FLAIR MRI.
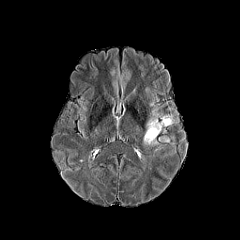
T1-weighted magnetic resonance.
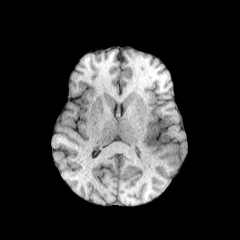
Post-contrast T1-weighted MR.
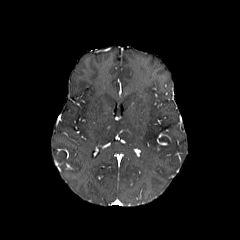
T2-weighted magnetic resonance.
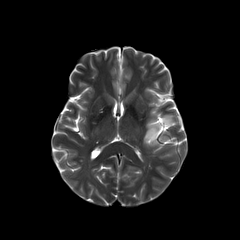
Image size 240x240 | Axial plane
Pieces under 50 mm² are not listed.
- peritumoral edema: 144, 116, 172, 144